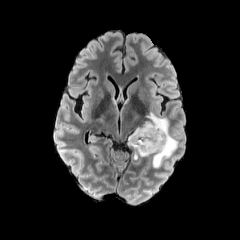
FLAIR magnetic resonance.
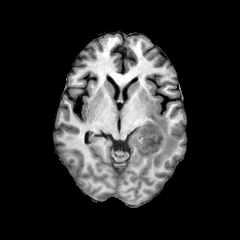
T1-weighted magnetic resonance of the same slice.
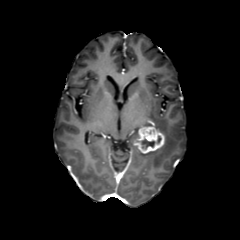
Post-contrast T1-weighted MR image of the same slice.
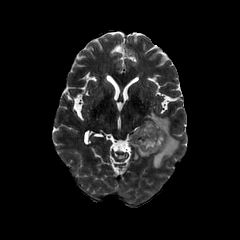
T2-weighted MRI.
Head, 240x240 px, Axial view
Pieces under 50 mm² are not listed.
enhancing tumor: 133, 125, 164, 153 | necrotic tumor core: 141, 139, 154, 148 | peritumoral edema: 127, 111, 178, 168